FLAIR MRI.
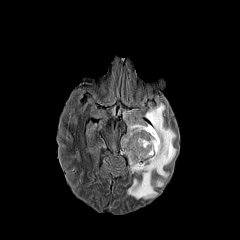
T1-weighted MR.
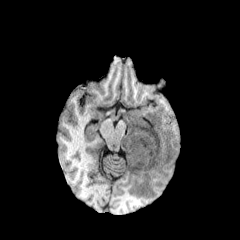
Post-contrast T1-weighted MR image.
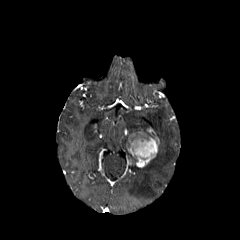
T2-weighted magnetic resonance.
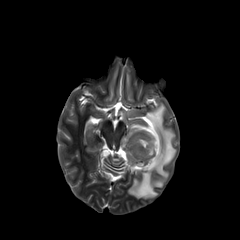
Brain, Axial view
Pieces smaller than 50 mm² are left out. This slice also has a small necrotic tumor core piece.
• enhancing tumor: (127, 127, 159, 167)
• peritumoral edema: (121, 103, 176, 199)